Slice 69/155. Brain.
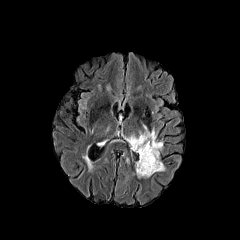
FLAIR MR image.
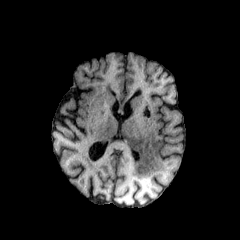
Same slice, T1-weighted MR.
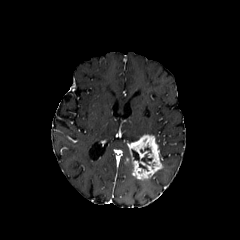
Post-contrast T1-weighted MR image.
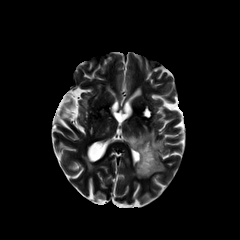
T2-weighted MR image.
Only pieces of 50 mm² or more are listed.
<segmentation>
  <enhancing_tumor>rect(128, 134, 163, 179)</enhancing_tumor>
  <necrotic_tumor_core>rect(141, 154, 152, 164)</necrotic_tumor_core>
  <peritumoral_edema>rect(124, 125, 157, 142)</peritumoral_edema>
</segmentation>